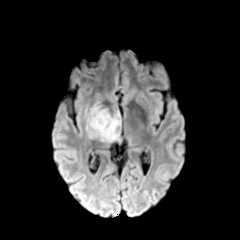
FLAIR magnetic resonance.
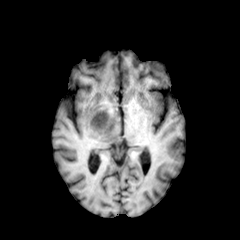
T1-weighted MR image of the same slice.
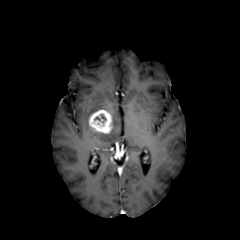
Post-contrast T1-weighted MR.
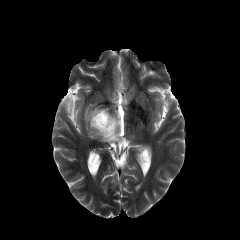
T2-weighted MR of the same slice.
Head; Axial slice
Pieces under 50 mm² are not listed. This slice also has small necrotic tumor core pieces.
The peritumoral edema is bounded by (x1=85, y1=106, x2=120, y2=142). The enhancing tumor appears at (x1=89, y1=110, x2=112, y2=133).